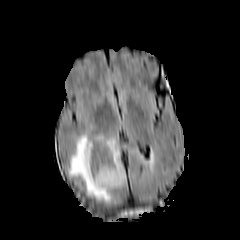
FLAIR MR.
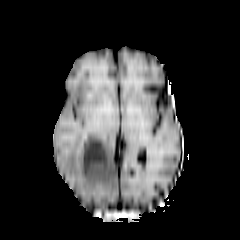
T1-weighted MR.
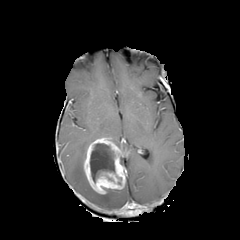
Same slice, post-contrast T1-weighted MRI.
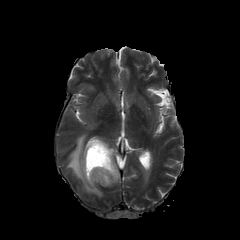
T2-weighted MR image of the same slice.
Axial view; Head
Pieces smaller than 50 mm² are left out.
peritumoral edema: bounding box 68 134 114 202
necrotic tumor core: bounding box 90 143 114 182
enhancing tumor: bounding box 83 138 125 194